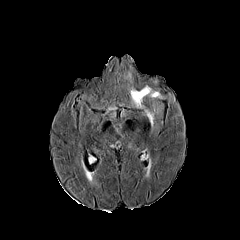
FLAIR magnetic resonance.
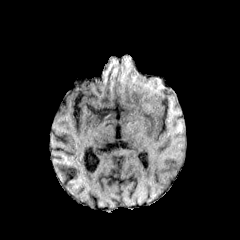
T1-weighted MR.
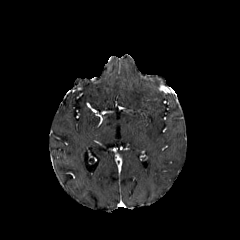
Post-contrast T1-weighted magnetic resonance.
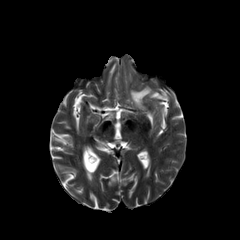
T2-weighted MR image of the same slice.
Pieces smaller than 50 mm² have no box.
peritumoral_edema:
  - x1=130 y1=86 x2=160 y2=107
  - x1=145 y1=110 x2=153 y2=126